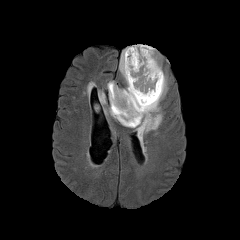
FLAIR MRI.
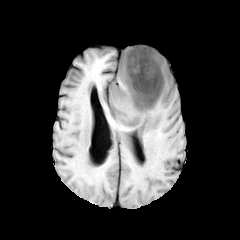
T1-weighted magnetic resonance.
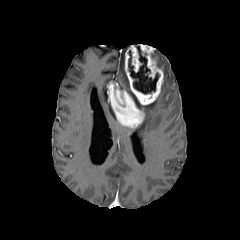
Post-contrast T1-weighted MR of the same slice.
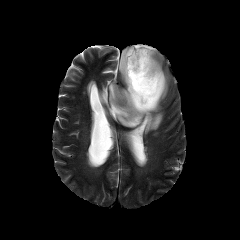
Same slice, T2-weighted MRI.
Head
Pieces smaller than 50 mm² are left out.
enhancing tumor — rect(107, 44, 163, 127)
peritumoral edema — rect(155, 51, 161, 68); rect(104, 103, 117, 120); rect(98, 91, 106, 104); rect(132, 73, 167, 142); rect(119, 47, 129, 90)
necrotic tumor core — rect(128, 45, 159, 94)